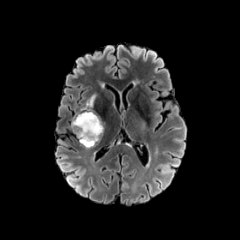
FLAIR MR.
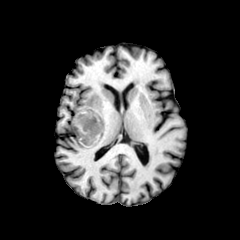
T1-weighted MR.
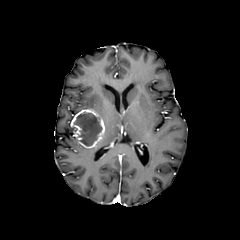
Post-contrast T1-weighted magnetic resonance of the same slice.
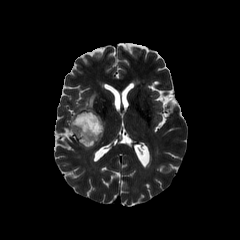
Same slice, T2-weighted MRI.
Image size 240x240. Axial plane.
Annotated regions:
- necrotic tumor core: (74,112,102,145)
- enhancing tumor: (71,109,104,148)
- peritumoral edema: (80,94,95,110)